FLAIR MRI.
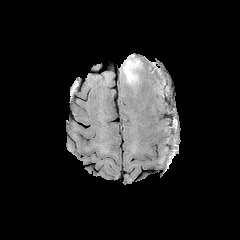
T1-weighted magnetic resonance.
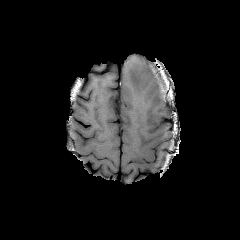
Post-contrast T1-weighted magnetic resonance.
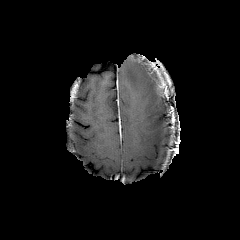
T2-weighted MR image.
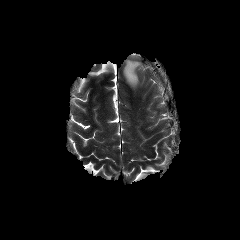
Image size 240x240, Head, Axial plane
Annotated regions:
* peritumoral edema: left=123, top=59, right=142, bottom=87